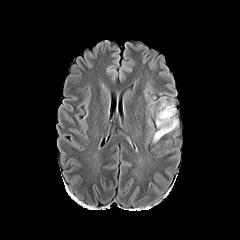
FLAIR MRI.
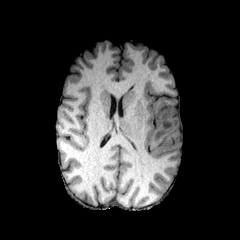
Same slice, T1-weighted magnetic resonance.
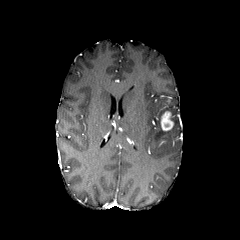
Post-contrast T1-weighted MR image.
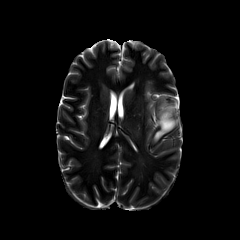
Same slice, T2-weighted MRI.
Axial slice. 240x240 px.
peritumoral edema at bbox=[153, 99, 179, 142]
enhancing tumor at bbox=[160, 111, 173, 130]